FLAIR magnetic resonance.
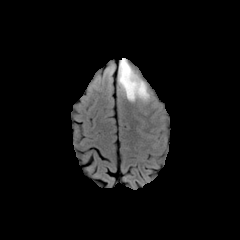
T1-weighted magnetic resonance.
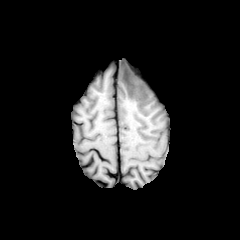
Post-contrast T1-weighted MR.
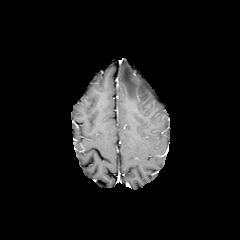
T2-weighted MR image.
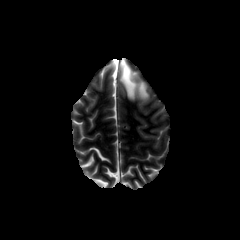
240x240. Brain.
{
  "peritumoral_edema": [
    "[118, 59, 149, 101]"
  ]
}